240x240 px
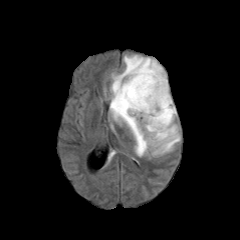
FLAIR MR image.
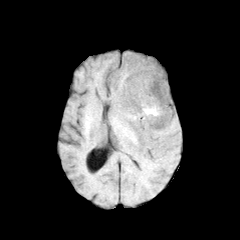
T1-weighted magnetic resonance of the same slice.
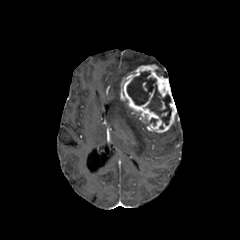
Same slice, post-contrast T1-weighted MR image.
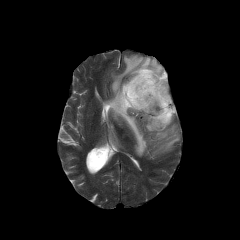
T2-weighted MR image of the same slice.
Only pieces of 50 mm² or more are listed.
necrotic tumor core at 127, 71, 171, 124
enhancing tumor at 120, 64, 176, 132
peritumoral edema at 110, 55, 180, 156